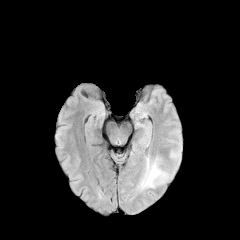
FLAIR magnetic resonance.
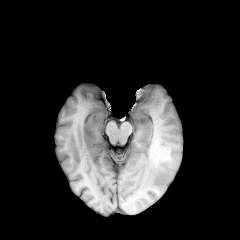
T1-weighted MR of the same slice.
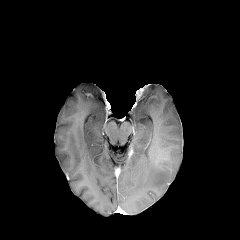
Post-contrast T1-weighted MRI.
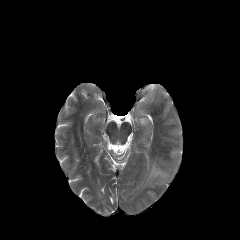
T2-weighted MR of the same slice.
Axial slice. Image size 240x240.
peritumoral edema: bounding box l=142, t=158, r=166, b=186